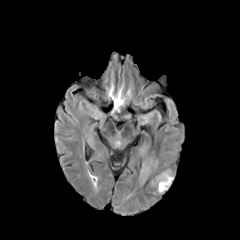
FLAIR MR image.
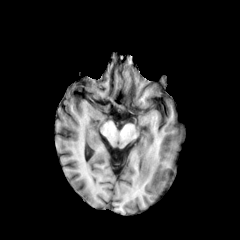
T1-weighted magnetic resonance of the same slice.
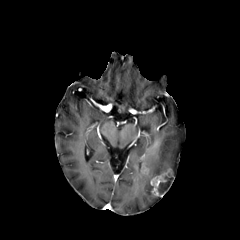
Post-contrast T1-weighted MR.
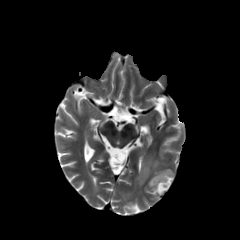
T2-weighted magnetic resonance.
Brain; 240x240 px
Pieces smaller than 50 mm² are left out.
The necrotic tumor core is located at x1=157 y1=175 x2=173 y2=193. The largest enhancing tumor region lies within x1=150 y1=168 x2=172 y2=197. The peritumoral edema is bounded by x1=139 y1=156 x2=161 y2=183.